Brain; Axial view
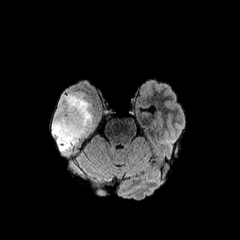
FLAIR MRI.
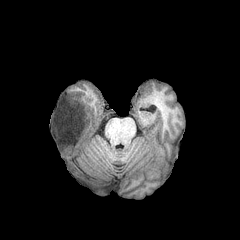
T1-weighted MR of the same slice.
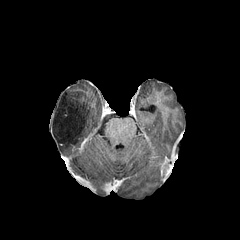
Post-contrast T1-weighted MR of the same slice.
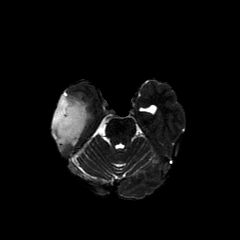
T2-weighted MR of the same slice.
<segmentation>
  <peritumoral_edema>(left=52, top=93, right=91, bottom=152)</peritumoral_edema>
</segmentation>